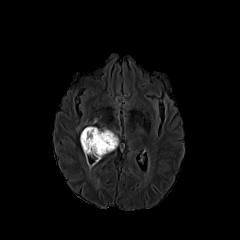
FLAIR MRI.
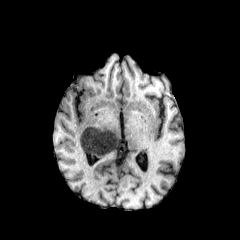
T1-weighted magnetic resonance.
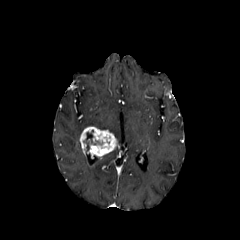
Post-contrast T1-weighted MR.
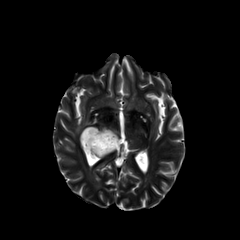
T2-weighted MR.
Axial view
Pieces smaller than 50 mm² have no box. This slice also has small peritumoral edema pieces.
necrotic_tumor_core:
  - rect(83, 130, 96, 150)
enhancing_tumor:
  - rect(80, 126, 117, 167)